Image covers 240 mm x 240 mm, Axial slice, Brain
FLAIR MRI.
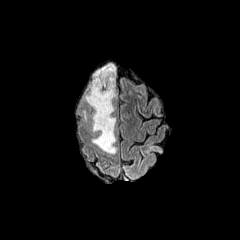
T1-weighted magnetic resonance.
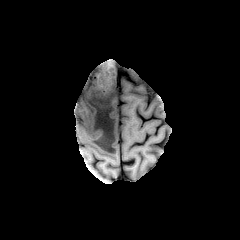
Post-contrast T1-weighted MR.
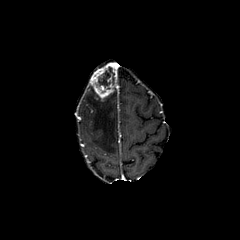
T2-weighted MR.
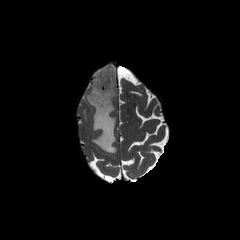
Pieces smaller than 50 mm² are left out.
enhancing_tumor:
  - 89, 62, 116, 101
peritumoral_edema:
  - 84, 85, 116, 153
  - 92, 67, 103, 77
necrotic_tumor_core:
  - 98, 66, 114, 87